FLAIR magnetic resonance.
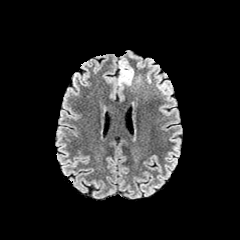
T1-weighted MRI.
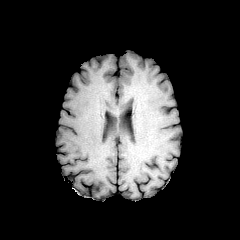
Post-contrast T1-weighted MRI.
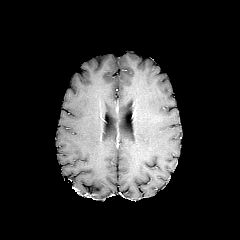
T2-weighted MRI.
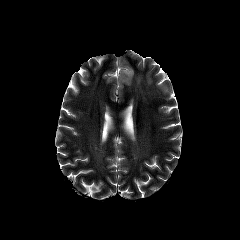
Brain
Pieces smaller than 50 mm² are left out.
{"peritumoral_edema": ["118 61 133 86"]}